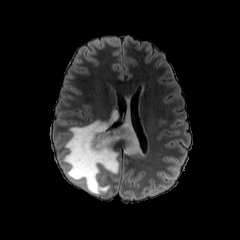
FLAIR MR.
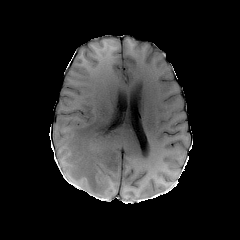
T1-weighted MR of the same slice.
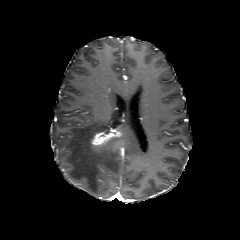
Same slice, post-contrast T1-weighted MR.
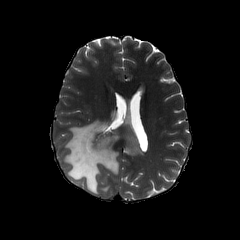
T2-weighted MRI.
Head. Axial slice.
{"peritumoral_edema": ["rect(63, 108, 140, 194)"], "enhancing_tumor": ["rect(91, 128, 120, 147)"]}